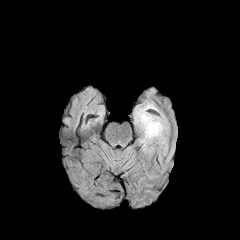
FLAIR MR image.
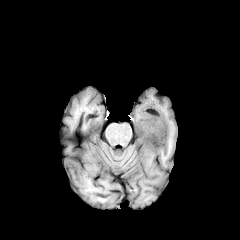
T1-weighted magnetic resonance.
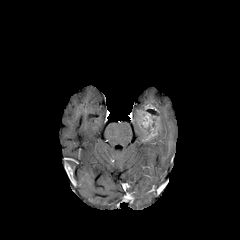
Same slice, post-contrast T1-weighted MR image.
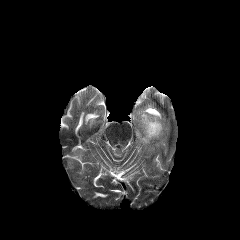
T2-weighted MRI.
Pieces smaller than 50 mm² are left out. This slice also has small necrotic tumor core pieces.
- enhancing tumor: 137, 104, 161, 141
- peritumoral edema: 133, 102, 168, 149